Image width 240 mm, 1.00 mm slice spacing | Brain | Axial view
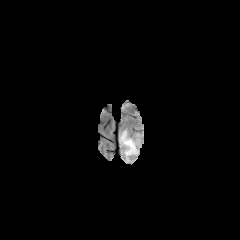
FLAIR MRI.
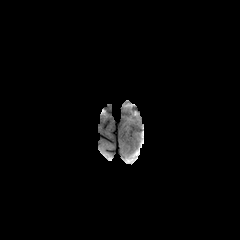
T1-weighted MRI of the same slice.
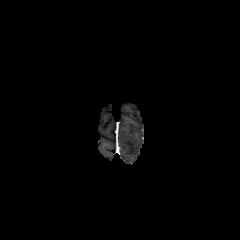
Same slice, post-contrast T1-weighted MR image.
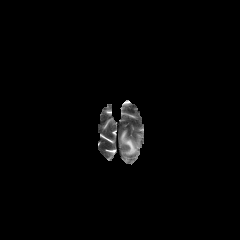
T2-weighted MR.
peritumoral edema = box(121, 131, 137, 155)